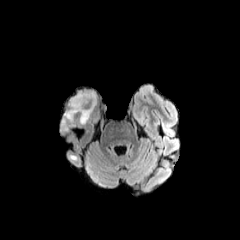
FLAIR magnetic resonance.
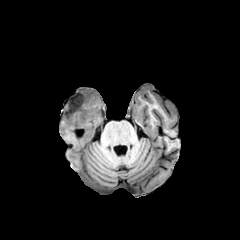
T1-weighted MRI.
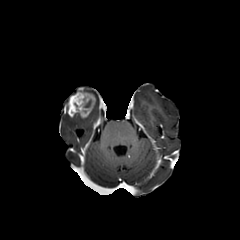
Same slice, post-contrast T1-weighted MR.
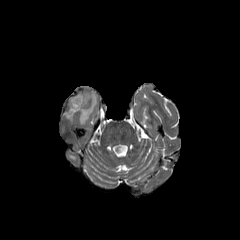
T2-weighted MR image.
Head. Image size 240x240.
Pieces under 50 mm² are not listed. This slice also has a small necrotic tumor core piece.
<segmentation>
  <enhancing_tumor>region(64, 91, 95, 118)</enhancing_tumor>
  <peritumoral_edema>region(79, 112, 91, 124)</peritumoral_edema>
</segmentation>